FLAIR MRI.
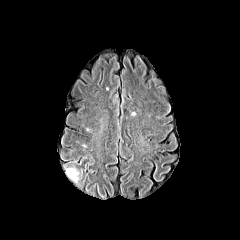
T1-weighted MRI.
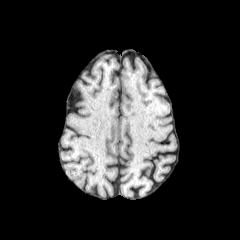
Post-contrast T1-weighted MRI.
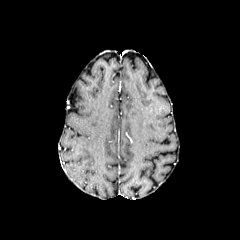
T2-weighted MR.
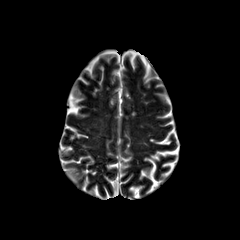
Axial view; Brain
{
  "peritumoral_edema": [
    "[65,167,81,183]"
  ]
}